Axial slice
FLAIR magnetic resonance.
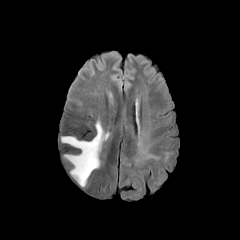
T1-weighted MRI.
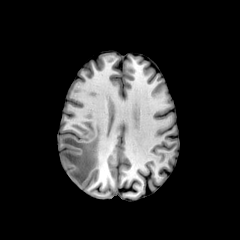
Post-contrast T1-weighted MRI.
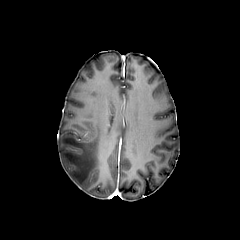
T2-weighted MRI.
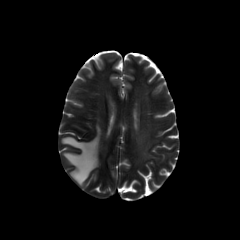
{
  "peritumoral_edema": [
    "61, 121, 108, 186"
  ]
}